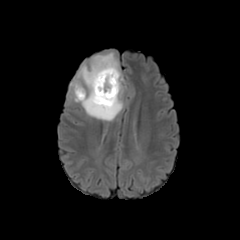
FLAIR MRI.
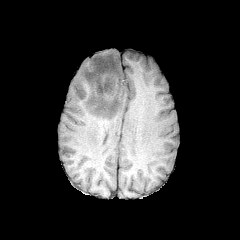
T1-weighted magnetic resonance.
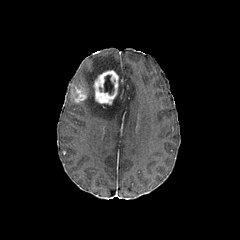
Post-contrast T1-weighted MR.
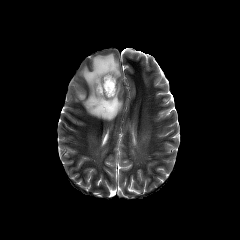
Same slice, T2-weighted magnetic resonance.
Axial view
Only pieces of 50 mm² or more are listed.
necrotic tumor core at (x1=104, y1=75, x2=114, y2=94)
peritumoral edema at (x1=78, y1=53, x2=123, y2=121)
enhancing tumor at (x1=70, y1=84, x2=86, y2=102), (x1=93, y1=70, x2=118, y2=104)